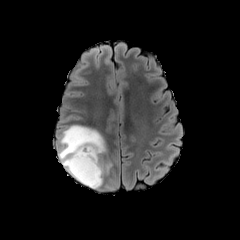
FLAIR MR image.
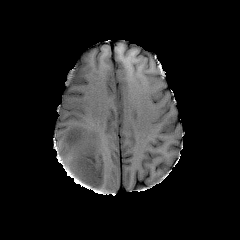
T1-weighted MRI of the same slice.
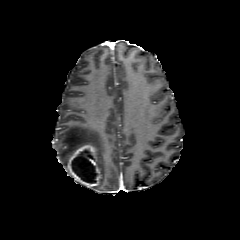
Post-contrast T1-weighted MR of the same slice.
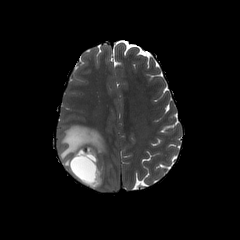
T2-weighted MR of the same slice.
Brain; Axial slice
necrotic tumor core: 71,150,97,183
peritumoral edema: 57,125,111,188
enhancing tumor: 64,144,101,189